Image covers 240 mm x 240 mm; 240x240; Head; Axial view
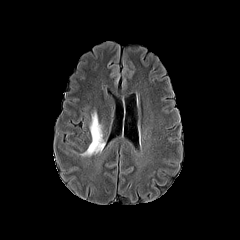
FLAIR MR image.
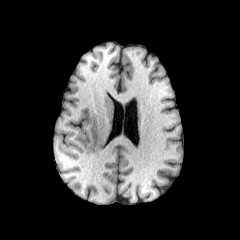
T1-weighted MR of the same slice.
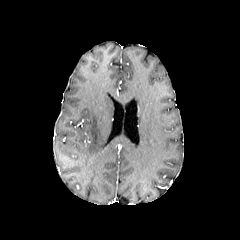
Same slice, post-contrast T1-weighted MR.
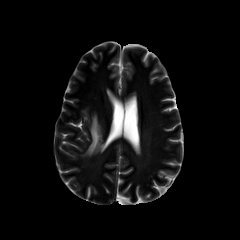
T2-weighted MR of the same slice.
peritumoral edema: [81, 112, 104, 156]